Slice 76/155; Image width 240 mm, 1.00 mm slice spacing; Axial slice; Image size 240x240; Brain
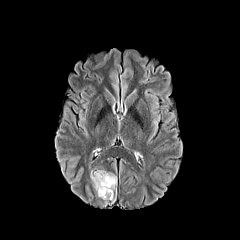
FLAIR magnetic resonance.
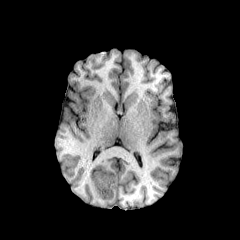
T1-weighted MRI.
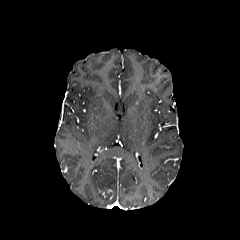
Post-contrast T1-weighted MR.
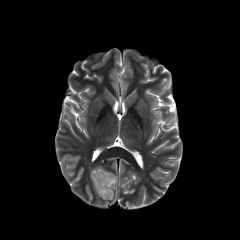
Same slice, T2-weighted MR image.
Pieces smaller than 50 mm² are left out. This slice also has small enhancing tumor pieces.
The peritumoral edema lies within x1=90, y1=170, x2=116, y2=203.